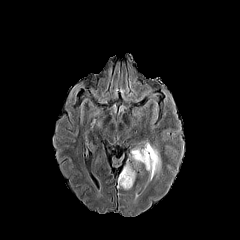
FLAIR MRI.
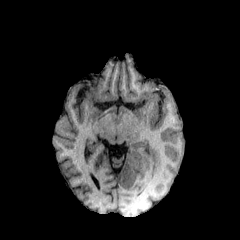
T1-weighted MR image.
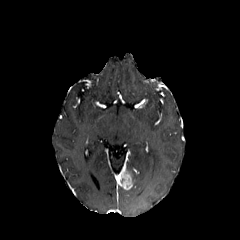
Post-contrast T1-weighted magnetic resonance of the same slice.
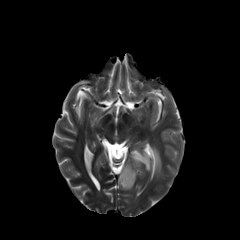
T2-weighted MR.
Brain
2 peritumoral edema regions appear at 131, 144, 160, 179; 127, 166, 135, 180. The enhancing tumor appears at 119, 169, 133, 189.